FLAIR MR image.
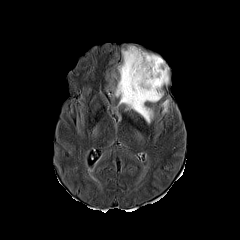
T1-weighted MR.
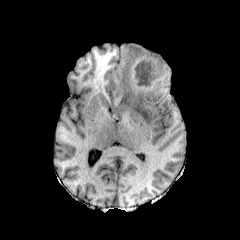
Post-contrast T1-weighted MR image.
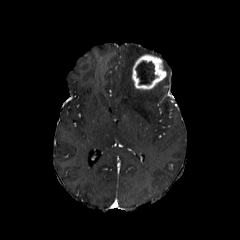
T2-weighted MRI.
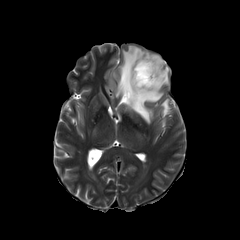
Image size 240x240, Axial view
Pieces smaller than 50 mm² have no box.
* necrotic tumor core: left=136, top=61, right=157, bottom=84
* peritumoral edema: left=115, top=45, right=169, bottom=123; left=161, top=99, right=168, bottom=112
* enhancing tumor: left=132, top=54, right=166, bottom=89